Slice 61 of 155
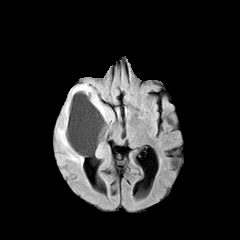
FLAIR magnetic resonance.
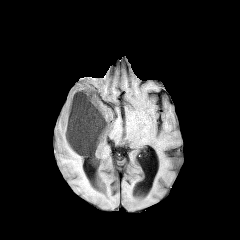
T1-weighted MR of the same slice.
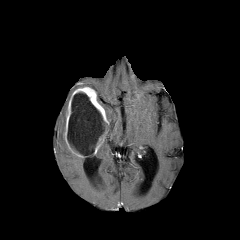
Post-contrast T1-weighted MR.
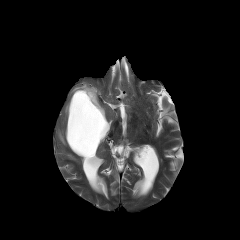
T2-weighted magnetic resonance.
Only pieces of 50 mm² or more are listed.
The enhancing tumor is bounded by 64 86 109 157. The necrotic tumor core is bounded by 67 92 105 156. The 3 largest peritumoral edema regions are bounded by 56 83 90 164, 96 144 103 156, 100 102 113 129.